Head. Axial slice.
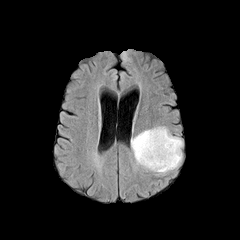
FLAIR magnetic resonance.
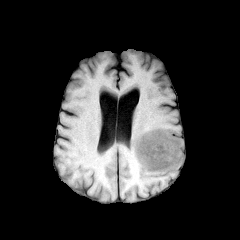
T1-weighted magnetic resonance.
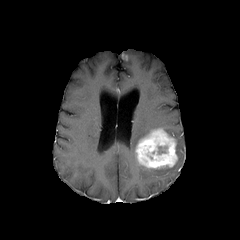
Post-contrast T1-weighted MR image.
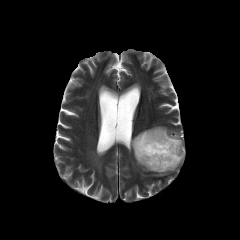
T2-weighted MRI.
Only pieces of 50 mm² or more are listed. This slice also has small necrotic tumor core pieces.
<segmentation>
  <enhancing_tumor>rect(135, 128, 178, 169)</enhancing_tumor>
  <peritumoral_edema>rect(131, 127, 172, 158); rect(149, 137, 182, 173)</peritumoral_edema>
</segmentation>